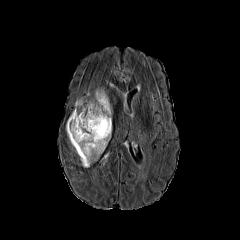
FLAIR magnetic resonance.
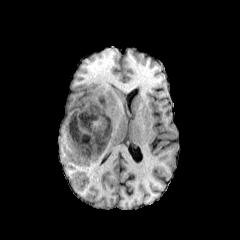
T1-weighted MRI.
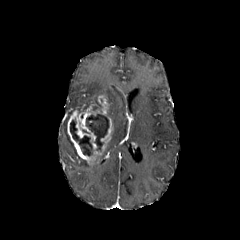
Post-contrast T1-weighted MR.
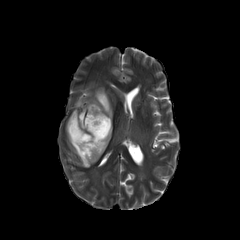
T2-weighted MR.
Brain. 240x240 px.
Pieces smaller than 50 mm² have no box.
The 2 largest necrotic tumor core regions are bounded by 86,114,109,150; 70,120,92,155. The largest enhancing tumor region is at 67,94,112,164. The 2 largest peritumoral edema regions are located at 80,157,89,167; 95,89,105,99.